FLAIR MR.
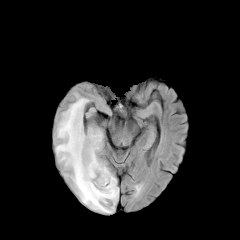
T1-weighted MR image.
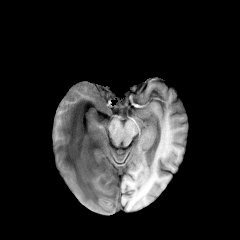
Post-contrast T1-weighted MR image.
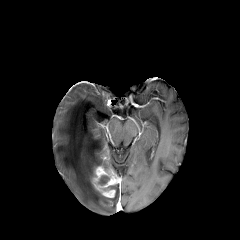
T2-weighted magnetic resonance.
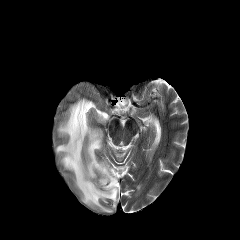
Brain.
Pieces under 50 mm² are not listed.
* enhancing tumor: 92:146:119:197
* necrotic tumor core: 99:176:108:184
* peritumoral edema: 55:94:118:213